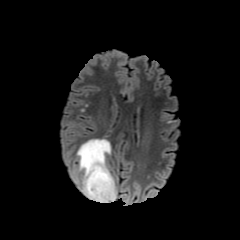
FLAIR MRI.
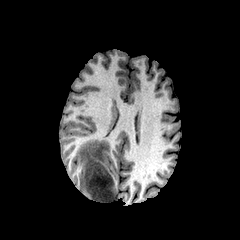
Same slice, T1-weighted magnetic resonance.
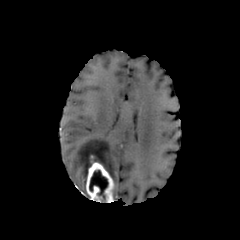
Post-contrast T1-weighted MR image of the same slice.
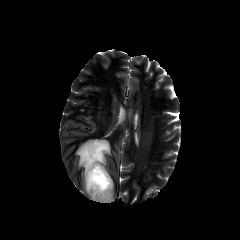
T2-weighted magnetic resonance.
Head, 240x240, Axial view
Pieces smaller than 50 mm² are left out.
The largest peritumoral edema region appears at <box>76,139,111,198</box>. The enhancing tumor is bounded by <box>86,155,114,202</box>. The necrotic tumor core is located at <box>89,170,108,199</box>.